FLAIR MR.
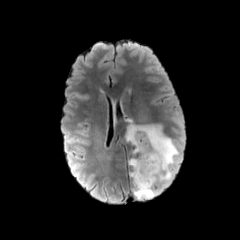
T1-weighted MR image.
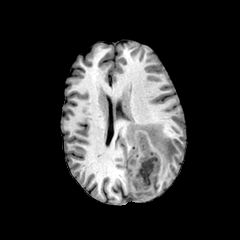
Post-contrast T1-weighted magnetic resonance.
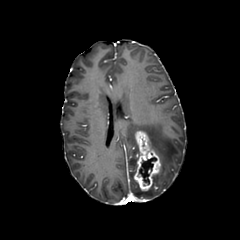
T2-weighted MRI.
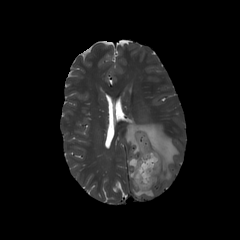
Image size 240x240.
enhancing_tumor:
  - <box>134,131,160,190</box>
peritumoral_edema:
  - <box>126,122,178,183</box>
  - <box>129,158,157,198</box>
necrotic_tumor_core:
  - <box>139,157,156,184</box>